Axial plane; Image size 240x240
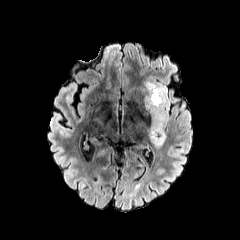
FLAIR MR.
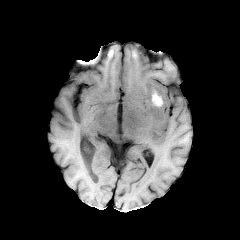
T1-weighted MRI.
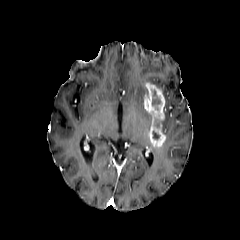
Post-contrast T1-weighted MR image.
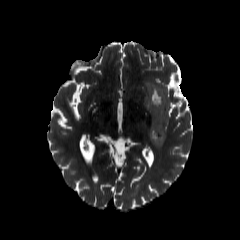
T2-weighted magnetic resonance.
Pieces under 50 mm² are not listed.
The largest peritumoral edema region is bounded by [152,82,169,110]. The largest necrotic tumor core region appears at [152,90,161,105]. The enhancing tumor is bounded by [144,82,167,147].